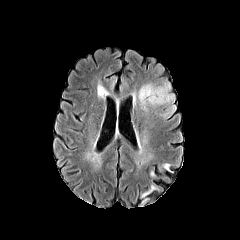
FLAIR MR.
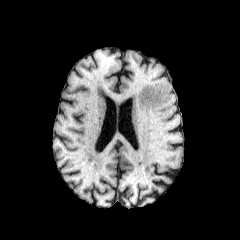
T1-weighted MRI of the same slice.
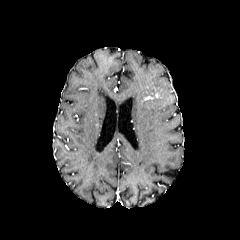
Post-contrast T1-weighted magnetic resonance.
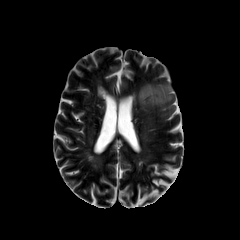
T2-weighted magnetic resonance.
Brain.
peritumoral edema at x1=157, y1=108, x2=173, y2=114; x1=138, y1=84, x2=173, y2=110